Image size 240x240.
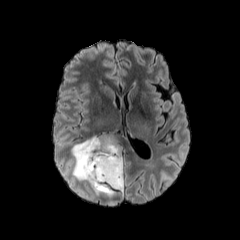
FLAIR magnetic resonance.
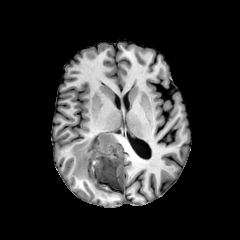
T1-weighted magnetic resonance.
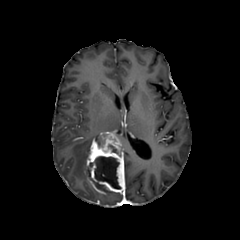
Same slice, post-contrast T1-weighted MR image.
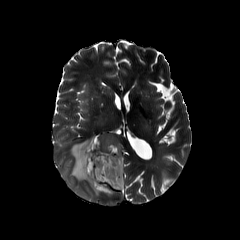
T2-weighted MR.
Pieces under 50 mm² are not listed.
necrotic tumor core = box=[91, 156, 120, 191]
enhancing tumor = box=[84, 132, 124, 194]
peritumoral edema = box=[89, 183, 100, 197]; box=[71, 137, 97, 182]; box=[103, 193, 121, 197]